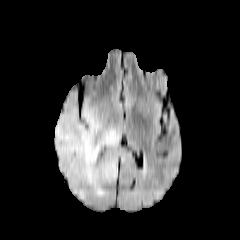
FLAIR MRI.
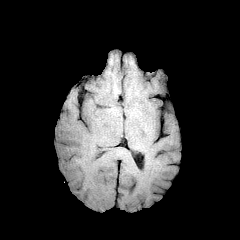
T1-weighted MRI of the same slice.
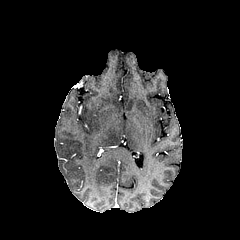
Post-contrast T1-weighted MR image of the same slice.
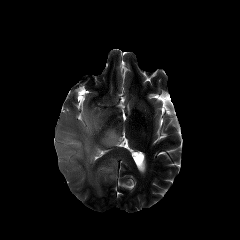
T2-weighted MR.
Image size 240x240. Brain.
peritumoral_edema:
  - left=55, top=102, right=121, bottom=198